Image width 240 mm, 1.00 mm slice spacing; Axial slice; Slice 43/155
FLAIR MR image.
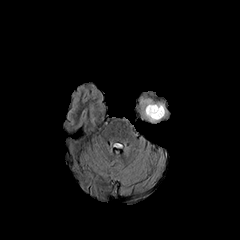
T1-weighted magnetic resonance.
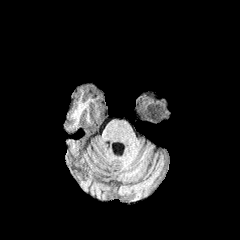
Post-contrast T1-weighted MR image.
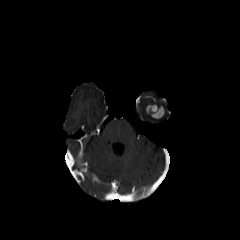
T2-weighted MR image.
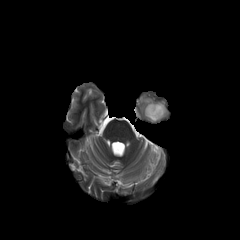
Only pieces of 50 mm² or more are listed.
The enhancing tumor appears at (146, 105, 164, 118). The largest peritumoral edema region appears at (141, 99, 164, 121).